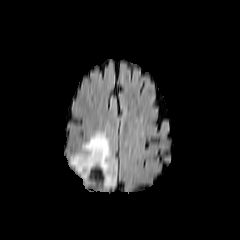
FLAIR MR image.
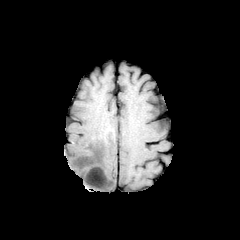
T1-weighted magnetic resonance.
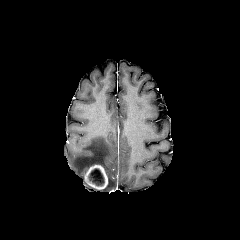
Post-contrast T1-weighted MR.
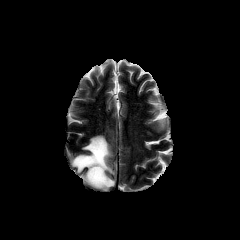
T2-weighted MR.
Axial view | 240x240
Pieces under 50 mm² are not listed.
{"necrotic_tumor_core": ["l=89, t=168, r=104, b=185"], "peritumoral_edema": ["l=70, t=133, r=116, b=190"], "enhancing_tumor": ["l=84, t=164, r=108, b=189"]}